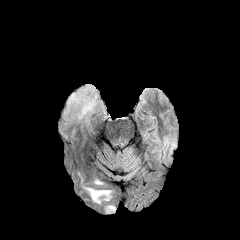
FLAIR MRI.
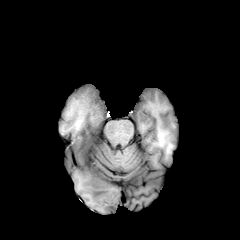
T1-weighted MRI of the same slice.
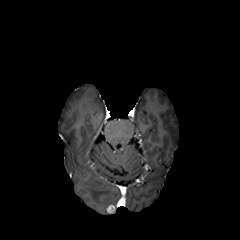
Post-contrast T1-weighted MR.
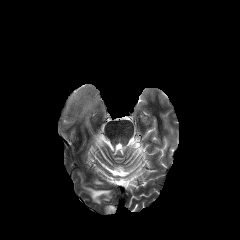
Same slice, T2-weighted MRI.
240x240, Brain
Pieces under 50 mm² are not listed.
* enhancing tumor: (106, 205, 115, 213)
* peritumoral edema: (83, 187, 111, 203), (62, 84, 103, 129)